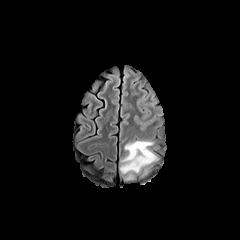
FLAIR magnetic resonance.
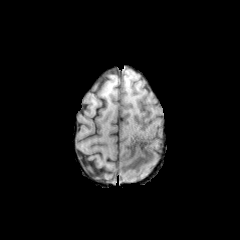
T1-weighted MR image of the same slice.
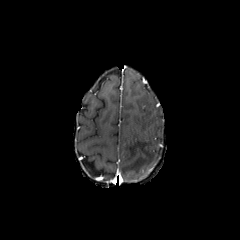
Post-contrast T1-weighted MR image of the same slice.
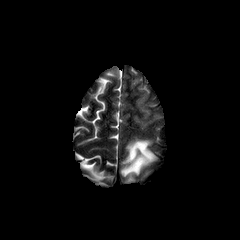
T2-weighted magnetic resonance.
Head; Image size 240x240
{"peritumoral_edema": ["[x1=120, y1=140, x2=159, y2=179]"]}